Slice 70/155, Axial plane
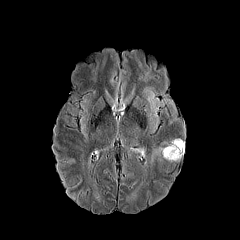
FLAIR MR image.
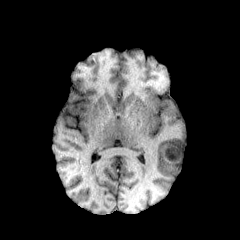
Same slice, T1-weighted MRI.
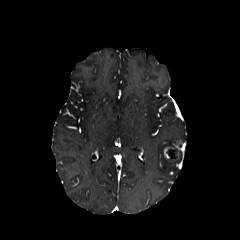
Post-contrast T1-weighted MRI.
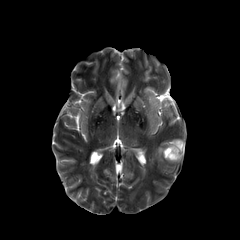
T2-weighted MR image of the same slice.
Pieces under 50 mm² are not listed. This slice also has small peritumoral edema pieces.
Segmented structures:
• necrotic tumor core: l=166, t=149, r=177, b=159
• enhancing tumor: l=163, t=140, r=182, b=159